FLAIR MR image.
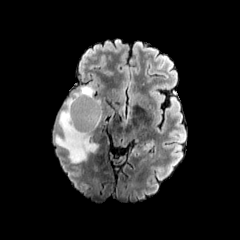
T1-weighted MRI.
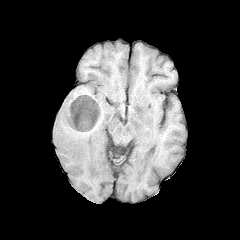
Post-contrast T1-weighted MR.
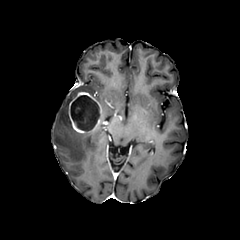
T2-weighted MR.
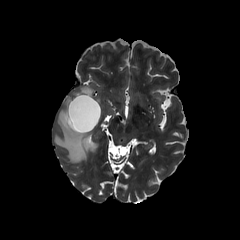
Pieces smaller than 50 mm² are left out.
The enhancing tumor lies within (left=68, top=91, right=102, bottom=133). The necrotic tumor core is located at (left=70, top=95, right=99, bottom=131). The largest peritumoral edema region is bounded by (left=55, top=86, right=99, bottom=163).